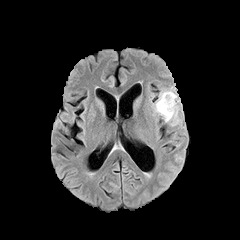
FLAIR magnetic resonance.
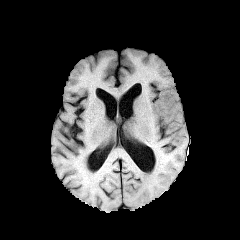
T1-weighted MRI of the same slice.
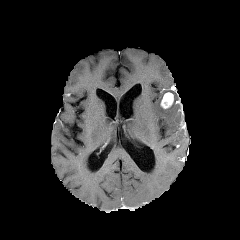
Post-contrast T1-weighted MR.
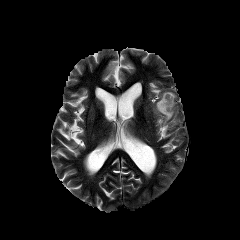
T2-weighted MRI of the same slice.
240x240 px
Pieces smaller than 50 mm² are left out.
The largest enhancing tumor region is at bbox(160, 92, 173, 108). The peritumoral edema appears at bbox(153, 89, 180, 125).